Image size 240x240, Axial slice, Slice 101 of 155
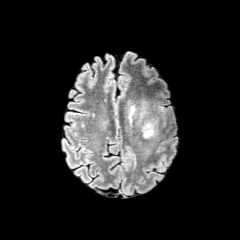
FLAIR MR.
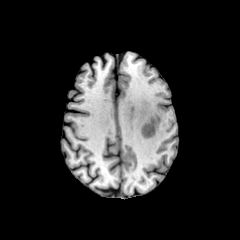
T1-weighted MR image of the same slice.
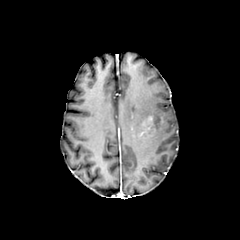
Post-contrast T1-weighted magnetic resonance.
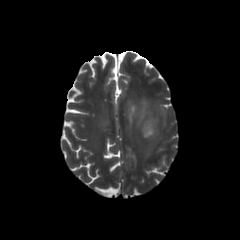
Same slice, T2-weighted MRI.
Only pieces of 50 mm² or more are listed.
peritumoral edema: bounding box bbox=[128, 99, 157, 134]
enhancing tumor: bounding box bbox=[143, 117, 153, 137]